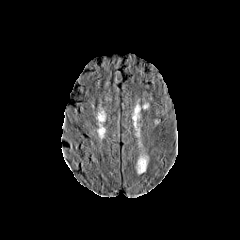
FLAIR MR.
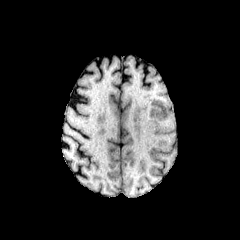
T1-weighted MRI of the same slice.
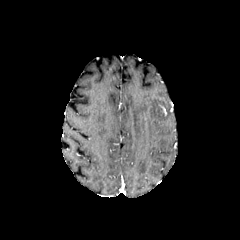
Post-contrast T1-weighted MRI.
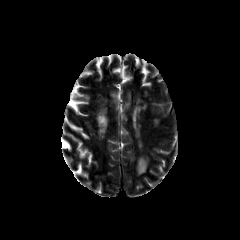
T2-weighted magnetic resonance.
Axial slice, Head
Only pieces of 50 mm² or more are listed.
The 2 largest peritumoral edema regions appear at 136:156:148:174, 133:105:140:126.